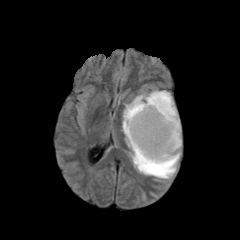
FLAIR magnetic resonance.
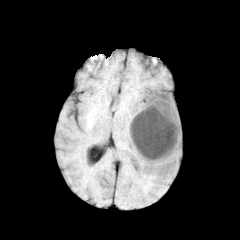
Same slice, T1-weighted MR image.
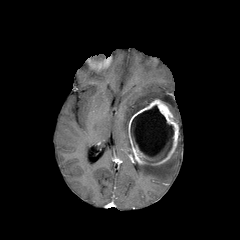
Post-contrast T1-weighted magnetic resonance.
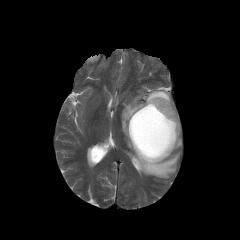
Same slice, T2-weighted MR.
Brain, Axial plane
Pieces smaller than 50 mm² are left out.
The enhancing tumor lies within (128,99,179,165). The largest peritumoral edema region is at (122,89,181,178). The necrotic tumor core lies within (131,105,173,162).